Slice 71 of 155
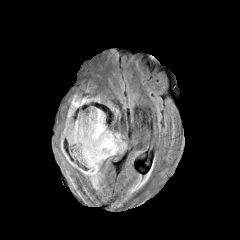
FLAIR MR.
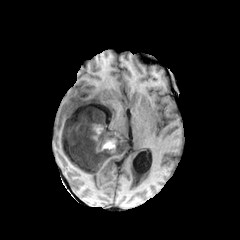
T1-weighted MRI of the same slice.
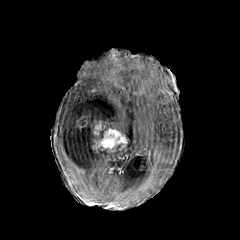
Post-contrast T1-weighted MRI.
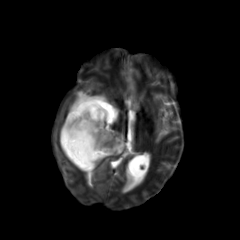
T2-weighted MRI.
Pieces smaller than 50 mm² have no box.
peritumoral edema: 65 134 125 189, 63 93 118 133 | enhancing tumor: 93 121 101 135, 92 129 126 152 | necrotic tumor core: 63 118 103 157, 71 150 86 167